Head, 240x240
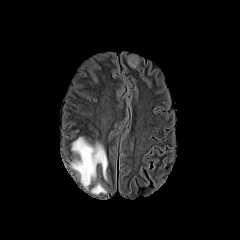
FLAIR MR.
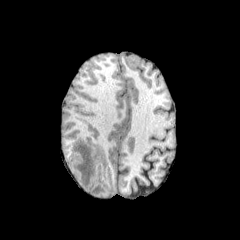
Same slice, T1-weighted MR.
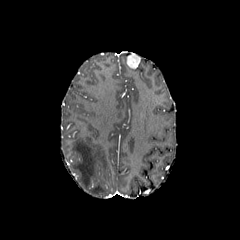
Post-contrast T1-weighted MR of the same slice.
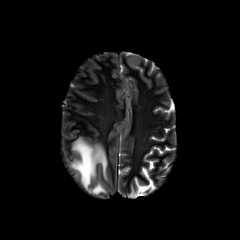
Same slice, T2-weighted MR image.
2 peritumoral edema regions appear at <box>71,137,107,188</box>, <box>92,183,105,194</box>.